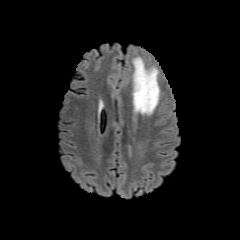
FLAIR MR image.
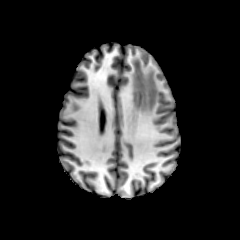
T1-weighted MR.
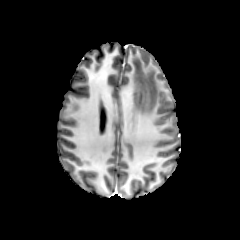
Post-contrast T1-weighted MRI.
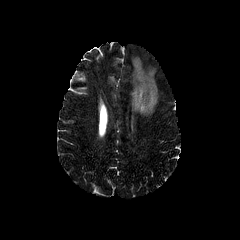
Same slice, T2-weighted magnetic resonance.
peritumoral_edema:
  - 133 57 159 115